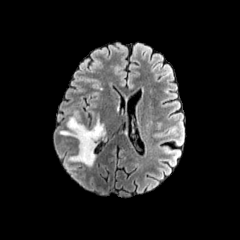
FLAIR MR.
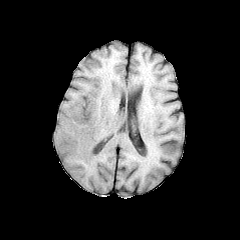
T1-weighted magnetic resonance.
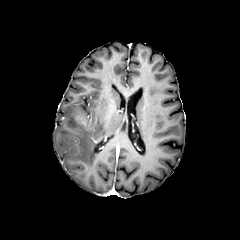
Post-contrast T1-weighted MR image of the same slice.
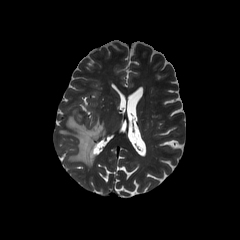
T2-weighted MR image.
Axial view | 240x240
enhancing tumor: x1=76, y1=113, x2=84, y2=124
peritumoral edema: x1=60, y1=112, x2=105, y2=166